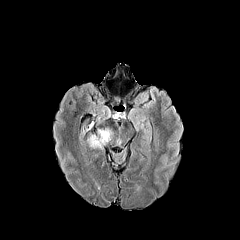
FLAIR MR image.
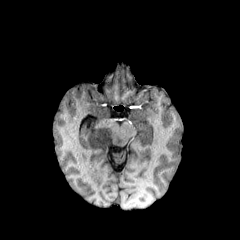
Same slice, T1-weighted magnetic resonance.
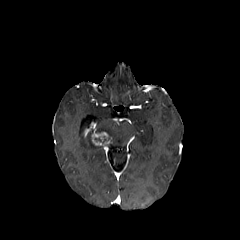
Same slice, post-contrast T1-weighted MRI.
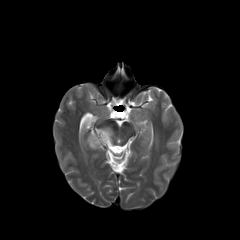
Same slice, T2-weighted MR image.
Axial plane
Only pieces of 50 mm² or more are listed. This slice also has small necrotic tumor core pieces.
enhancing tumor: bounding box [x1=91, y1=131, x2=111, y2=146]
peritumoral edema: bounding box [x1=98, y1=128, x2=112, y2=136], [x1=87, y1=137, x2=102, y2=148]